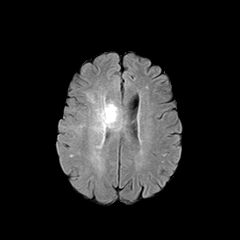
FLAIR magnetic resonance.
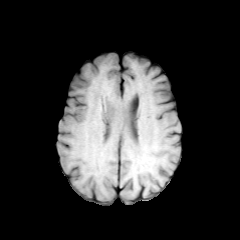
T1-weighted magnetic resonance of the same slice.
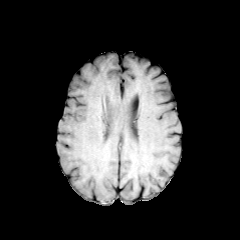
Post-contrast T1-weighted magnetic resonance of the same slice.
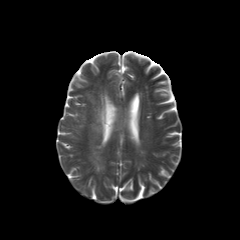
Same slice, T2-weighted magnetic resonance.
Brain.
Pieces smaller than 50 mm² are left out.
Segmented structures:
- peritumoral edema: 93, 95, 121, 148